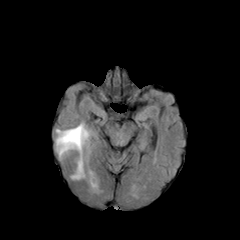
FLAIR MRI.
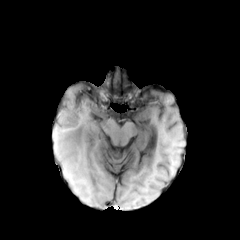
T1-weighted magnetic resonance of the same slice.
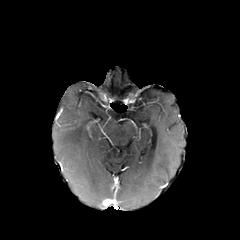
Post-contrast T1-weighted MR.
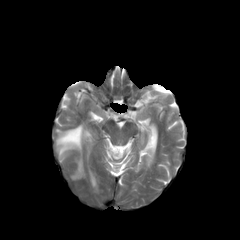
T2-weighted magnetic resonance of the same slice.
Image size 240x240
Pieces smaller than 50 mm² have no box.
Annotated regions:
• peritumoral edema: (x1=56, y1=123, x2=89, y2=178)